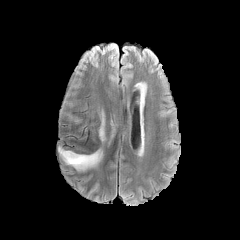
FLAIR MR image.
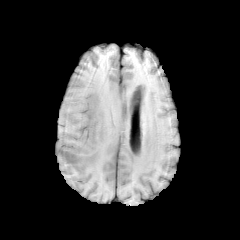
T1-weighted magnetic resonance.
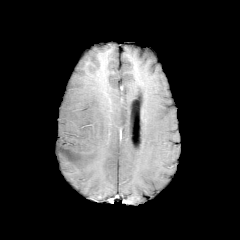
Post-contrast T1-weighted magnetic resonance of the same slice.
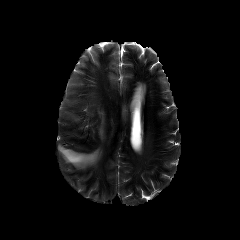
T2-weighted magnetic resonance of the same slice.
peritumoral edema: [99, 111, 104, 140], [58, 146, 102, 169]